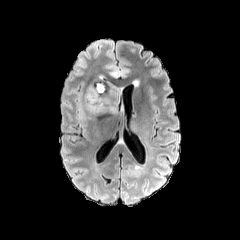
FLAIR magnetic resonance.
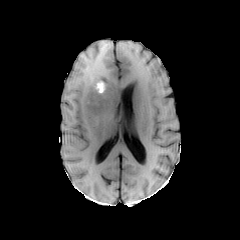
Same slice, T1-weighted MRI.
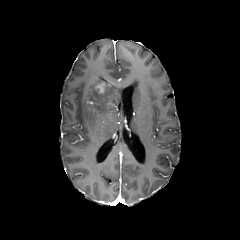
Post-contrast T1-weighted MR image of the same slice.
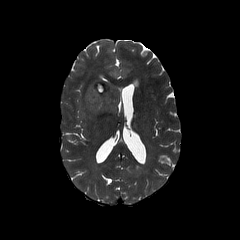
T2-weighted MR image of the same slice.
Axial slice, Brain, Image size 240x240
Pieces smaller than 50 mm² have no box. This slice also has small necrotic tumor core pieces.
Segmented structures:
• enhancing tumor: 87:81:106:104
• peritumoral edema: 83:75:120:122